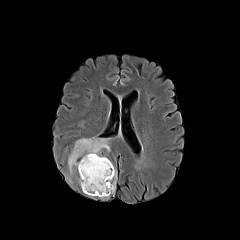
FLAIR magnetic resonance.
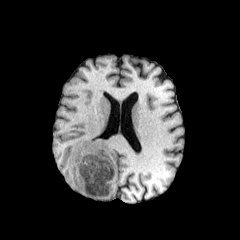
T1-weighted MR.
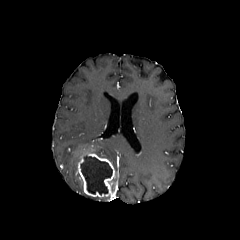
Same slice, post-contrast T1-weighted MR.
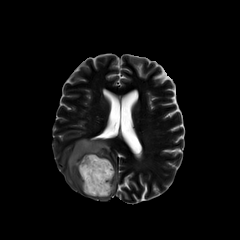
T2-weighted MR of the same slice.
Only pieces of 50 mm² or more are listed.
peritumoral edema at (left=68, top=138, right=110, bottom=173)
enhancing tumor at (left=77, top=153, right=115, bottom=197)
necrotic tumor core at (left=81, top=156, right=112, bottom=194)